Slice 43/155, Head, Axial view
FLAIR MR.
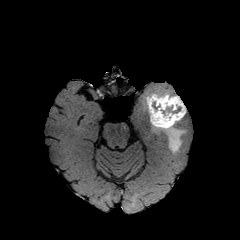
T1-weighted magnetic resonance.
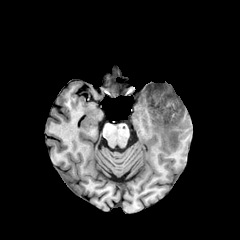
Post-contrast T1-weighted MR image.
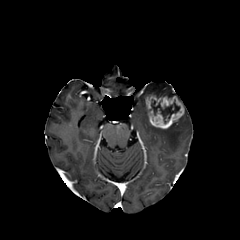
T2-weighted MR image.
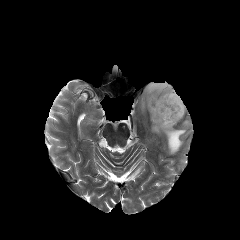
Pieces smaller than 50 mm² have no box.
* peritumoral edema: left=147, top=85, right=176, bottom=98; left=153, top=122, right=185, bottom=153
* enhancing tumor: left=146, top=95, right=184, bottom=128
* necrotic tumor core: left=151, top=100, right=180, bottom=123